Axial plane; Head
FLAIR magnetic resonance.
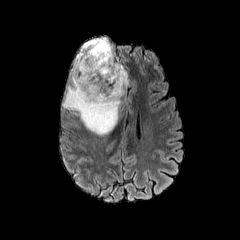
T1-weighted magnetic resonance.
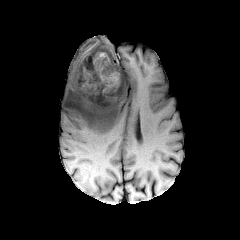
Post-contrast T1-weighted MR.
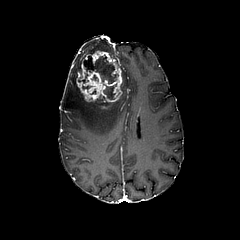
T2-weighted magnetic resonance.
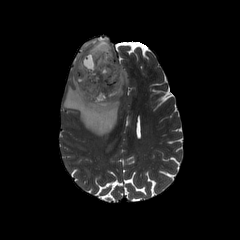
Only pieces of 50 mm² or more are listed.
Annotated regions:
* necrotic tumor core: [83,55,118,83], [103,84,116,99]
* enhancing tumor: [76,50,122,103]
* peritumoral edema: [62,37,128,135]